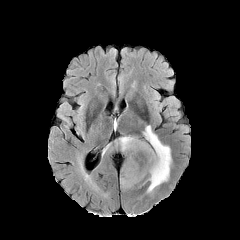
FLAIR MR.
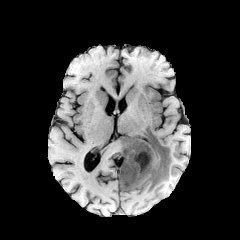
Same slice, T1-weighted MR.
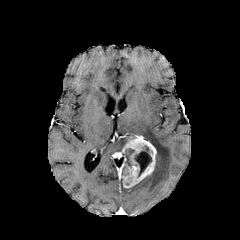
Post-contrast T1-weighted MRI.
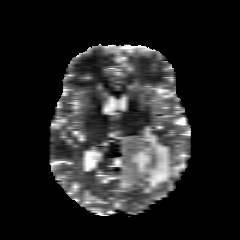
T2-weighted MRI.
Head.
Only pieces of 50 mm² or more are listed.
<segmentation>
  <necrotic_tumor_core>{"x1": 134, "y1": 146, "x2": 151, "y2": 176}</necrotic_tumor_core>
  <peritumoral_edema>{"x1": 142, "y1": 125, "x2": 171, "y2": 193}, {"x1": 119, "y1": 136, "x2": 127, "y2": 149}, {"x1": 124, "y1": 149, "x2": 134, "y2": 165}</peritumoral_edema>
  <enhancing_tumor>{"x1": 120, "y1": 135, "x2": 156, "y2": 188}</enhancing_tumor>
</segmentation>